Slice 122/155, Brain, Axial plane
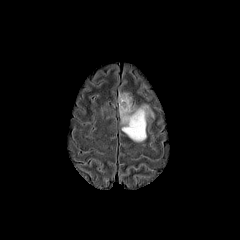
FLAIR MR.
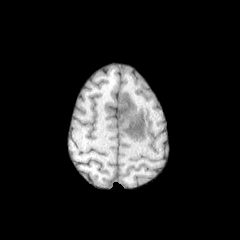
T1-weighted MR of the same slice.
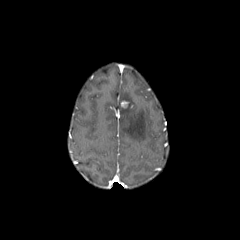
Post-contrast T1-weighted MRI.
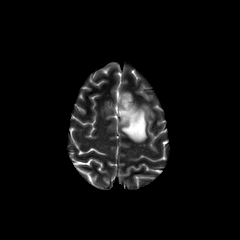
T2-weighted MRI of the same slice.
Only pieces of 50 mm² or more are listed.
{
  "peritumoral_edema": [
    "bbox=[119, 94, 131, 102]",
    "bbox=[120, 105, 149, 142]"
  ],
  "enhancing_tumor": [
    "bbox=[121, 101, 128, 108]"
  ]
}